Axial view, 240x240
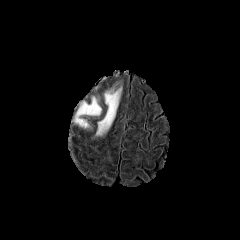
FLAIR magnetic resonance.
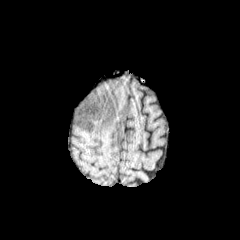
T1-weighted MR.
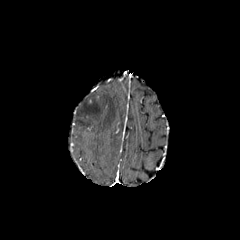
Post-contrast T1-weighted MR image.
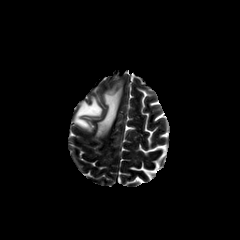
T2-weighted magnetic resonance.
peritumoral edema: (x1=72, y1=96, x2=102, y2=128), (x1=95, y1=85, x2=122, y2=136)